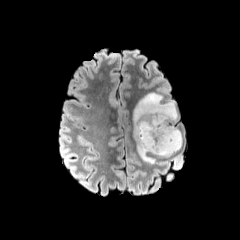
FLAIR MRI.
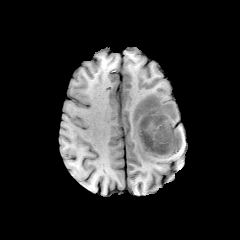
T1-weighted magnetic resonance.
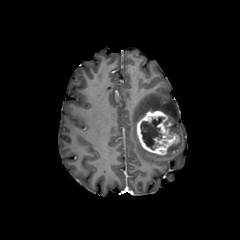
Post-contrast T1-weighted MR.
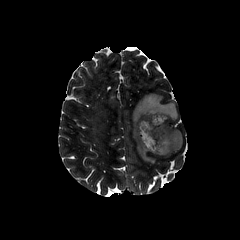
T2-weighted magnetic resonance of the same slice.
Image size 240x240. Head. Axial plane.
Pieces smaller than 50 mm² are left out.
Annotated regions:
• peritumoral edema: [x1=132, y1=92, x2=182, y2=163]
• enhancing tumor: [x1=136, y1=110, x2=180, y2=154]
• necrotic tumor core: [x1=140, y1=116, x2=164, y2=150]